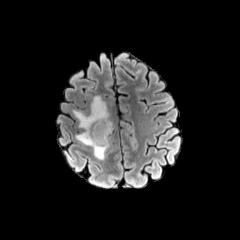
FLAIR MR.
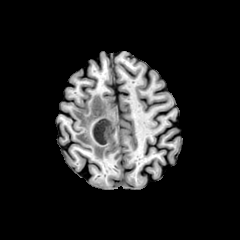
T1-weighted MRI of the same slice.
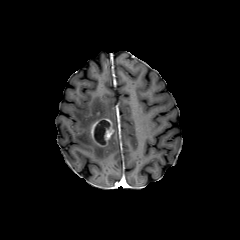
Same slice, post-contrast T1-weighted magnetic resonance.
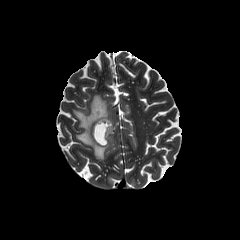
T2-weighted MRI.
Axial plane. Head.
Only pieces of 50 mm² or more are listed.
• necrotic tumor core: (x1=94, y1=120, x2=110, y2=144)
• enhancing tumor: (x1=90, y1=112, x2=113, y2=146)
• peritumoral edema: (x1=73, y1=95, x2=112, y2=159)